FLAIR magnetic resonance.
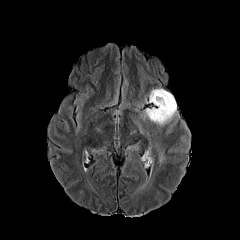
T1-weighted MRI.
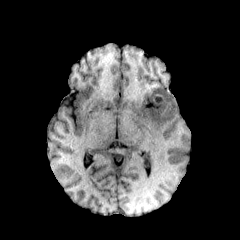
Post-contrast T1-weighted MRI.
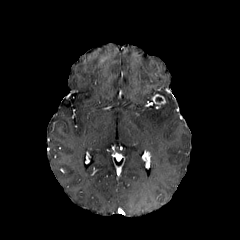
T2-weighted MR.
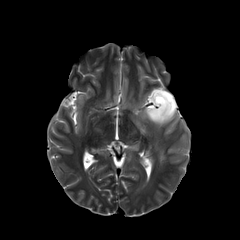
240x240 px
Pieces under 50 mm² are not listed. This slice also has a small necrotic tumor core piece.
Annotated regions:
- peritumoral edema: 144, 88, 176, 125
- enhancing tumor: 152, 94, 165, 106